FLAIR magnetic resonance.
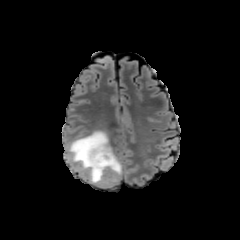
T1-weighted MR image.
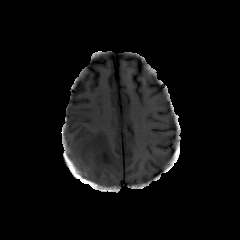
Post-contrast T1-weighted MR.
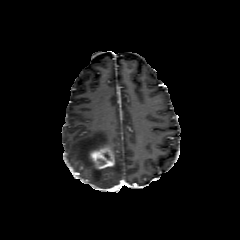
T2-weighted MR.
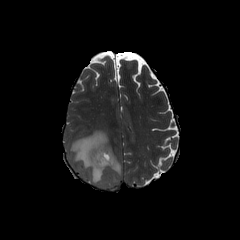
Head; Axial plane
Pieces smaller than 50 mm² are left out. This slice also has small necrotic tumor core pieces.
<segmentation>
  <enhancing_tumor>[89, 144, 114, 169]</enhancing_tumor>
  <peritumoral_edema>[68, 130, 122, 186]</peritumoral_edema>
</segmentation>